Axial slice | Image width 240 mm
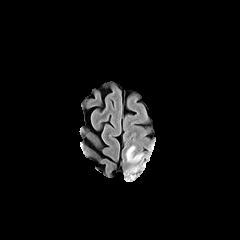
FLAIR MR image.
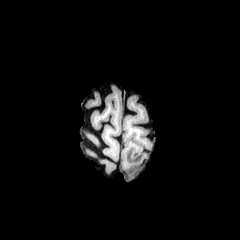
Same slice, T1-weighted MR image.
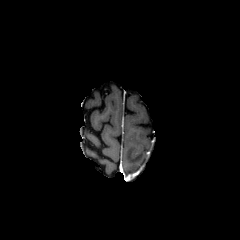
Post-contrast T1-weighted magnetic resonance.
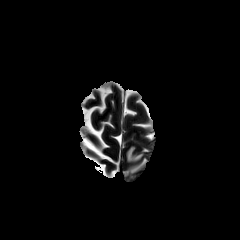
T2-weighted MR.
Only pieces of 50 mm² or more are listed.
<segmentation>
  <peritumoral_edema><box>126,146,142,162</box></peritumoral_edema>
</segmentation>